FLAIR MR image.
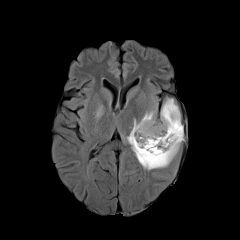
T1-weighted MRI.
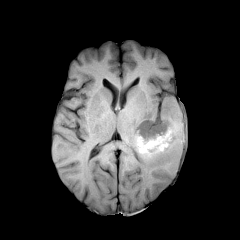
Post-contrast T1-weighted MR image.
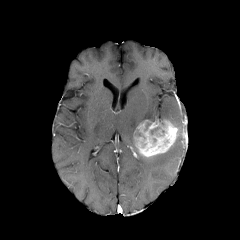
T2-weighted MR.
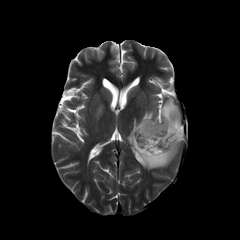
Axial view | 240x240 px
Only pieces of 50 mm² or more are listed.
<segmentation>
  <enhancing_tumor>x1=136 y1=120 x2=177 y2=156</enhancing_tumor>
  <necrotic_tumor_core>x1=137 y1=133 x2=146 y2=147</necrotic_tumor_core>
  <peritumoral_edema>x1=95 y1=103 x2=104 y2=122, x1=127 y1=98 x2=183 y2=170</peritumoral_edema>
</segmentation>